FLAIR magnetic resonance.
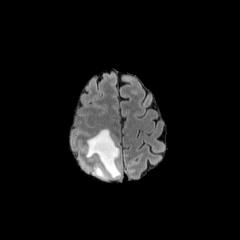
T1-weighted MR image.
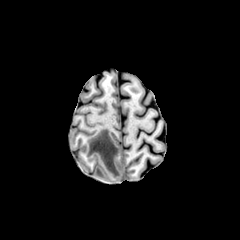
Post-contrast T1-weighted MR.
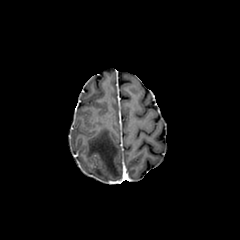
T2-weighted MRI.
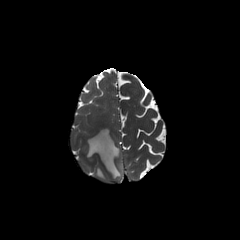
240x240; Brain
peritumoral edema: (93,165,108,179), (86,129,121,178)